Brain | Slice index 94 | Image width 240 mm
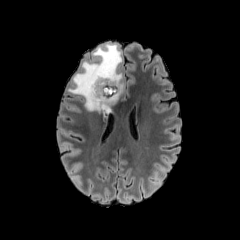
FLAIR MR image.
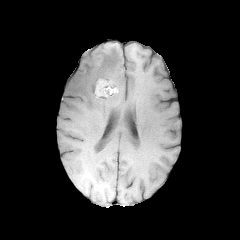
T1-weighted magnetic resonance.
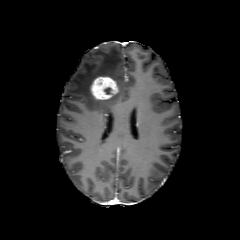
Post-contrast T1-weighted MRI.
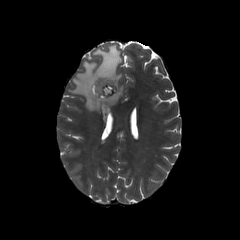
T2-weighted MR image.
{"enhancing_tumor": ["region(90, 76, 118, 100)"], "necrotic_tumor_core": ["region(96, 79, 114, 95)"], "peritumoral_edema": ["region(67, 44, 124, 115)"]}